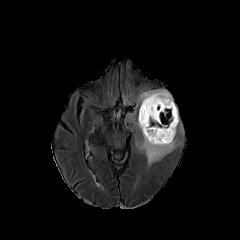
FLAIR magnetic resonance.
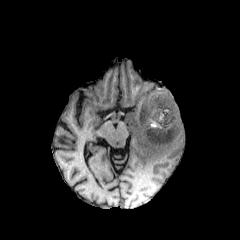
T1-weighted MR.
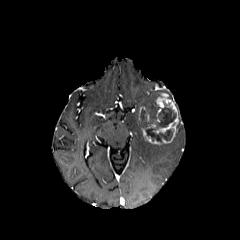
Same slice, post-contrast T1-weighted MR.
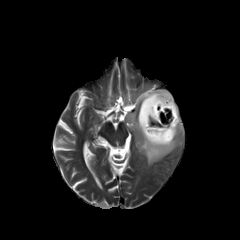
T2-weighted MR image of the same slice.
240x240 px | Axial plane
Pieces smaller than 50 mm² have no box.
Findings:
* enhancing tumor: (x1=139, y1=107, x2=150, y2=120), (x1=142, y1=93, x2=178, y2=144)
* necrotic tumor core: (x1=140, y1=107, x2=147, y2=118), (x1=156, y1=106, x2=176, y2=128), (x1=145, y1=128, x2=172, y2=141)
* peritumoral edema: (x1=136, y1=137, x2=176, y2=165), (x1=136, y1=89, x2=173, y2=135)